FLAIR MR image.
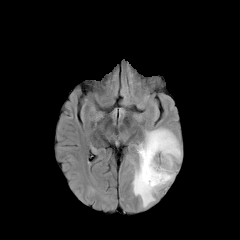
T1-weighted MR.
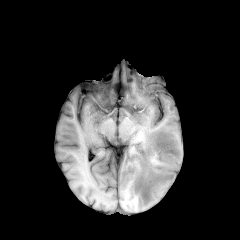
Post-contrast T1-weighted magnetic resonance.
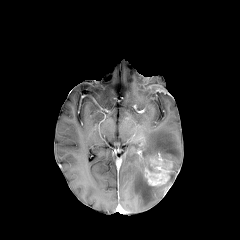
T2-weighted MRI.
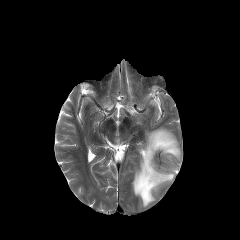
Image size 240x240
The peritumoral edema appears at (left=132, top=128, right=181, bottom=207). The enhancing tumor is at (left=144, top=153, right=173, bottom=186).